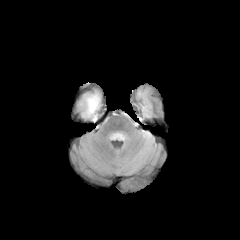
FLAIR MRI.
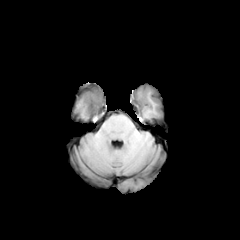
T1-weighted magnetic resonance.
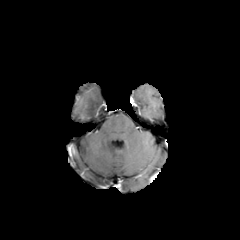
Post-contrast T1-weighted MR.
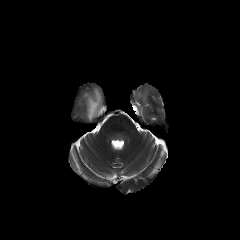
T2-weighted MR image.
Axial plane. 240x240. Brain.
necrotic_tumor_core:
  - <bbox>88, 100, 98, 117</bbox>
peritumoral_edema:
  - <bbox>80, 91, 101, 119</bbox>